FLAIR MRI.
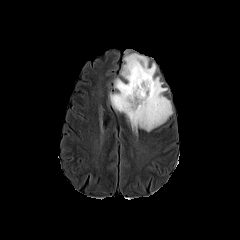
T1-weighted MR image.
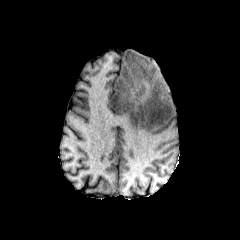
Post-contrast T1-weighted MR.
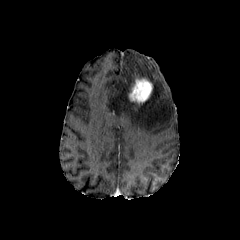
T2-weighted MRI.
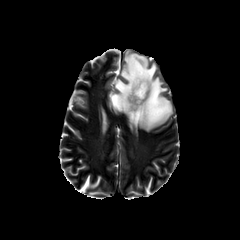
Image size 240x240
{
  "enhancing_tumor": [
    "128, 77, 153, 105"
  ],
  "peritumoral_edema": [
    "109, 51, 173, 132"
  ]
}